240x240.
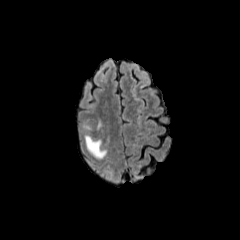
FLAIR MRI.
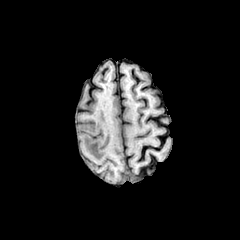
T1-weighted MR of the same slice.
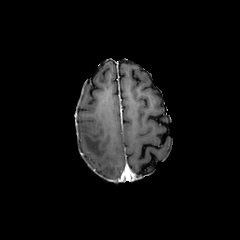
Same slice, post-contrast T1-weighted MR image.
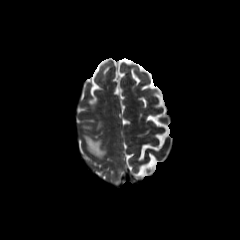
T2-weighted MR.
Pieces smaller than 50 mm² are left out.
peritumoral edema = left=84, top=135, right=107, bottom=158